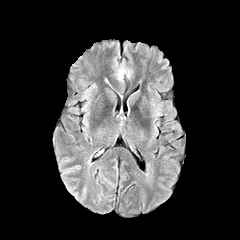
FLAIR magnetic resonance.
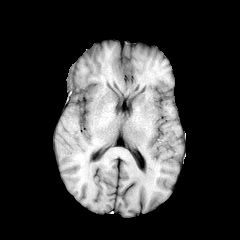
Same slice, T1-weighted MRI.
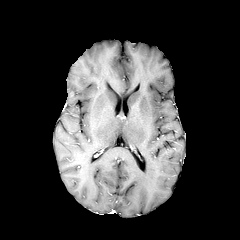
Post-contrast T1-weighted MR image.
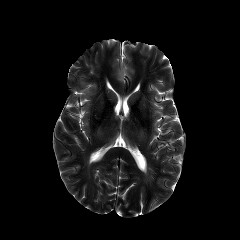
T2-weighted MRI of the same slice.
Head, Axial plane
peritumoral edema — 118:69:124:80